FLAIR MR image.
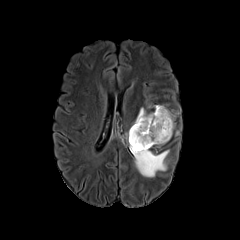
T1-weighted MR.
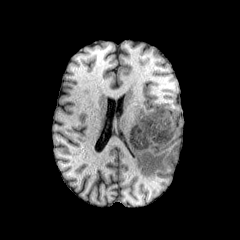
Post-contrast T1-weighted MR image.
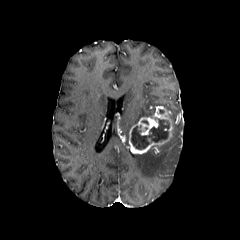
T2-weighted MR.
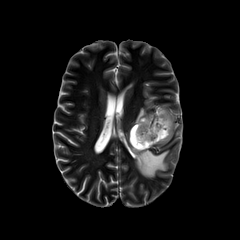
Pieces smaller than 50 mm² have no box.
necrotic tumor core: bounding box bbox(131, 119, 169, 149)
enhancing tumor: bounding box bbox(128, 106, 173, 154)
peritumoral edema: bounding box bbox(134, 150, 169, 177); bbox(133, 107, 153, 124)